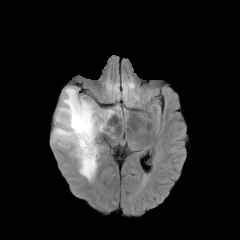
FLAIR MR.
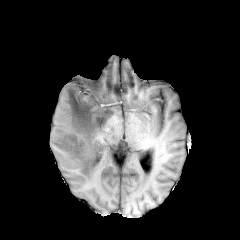
T1-weighted MRI.
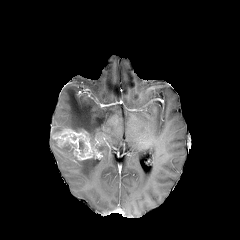
Post-contrast T1-weighted magnetic resonance of the same slice.
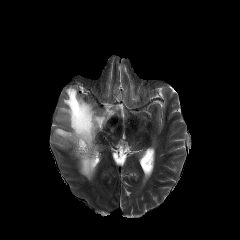
T2-weighted MRI.
Head. Axial slice. 240x240.
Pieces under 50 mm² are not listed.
peritumoral edema: (53, 86, 99, 142), (77, 158, 96, 180), (62, 146, 76, 158) | enhancing tumor: (52, 129, 97, 160)